Brain. Slice 72/155.
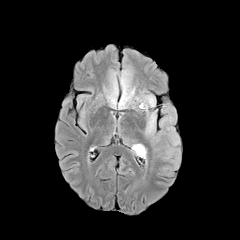
FLAIR MR.
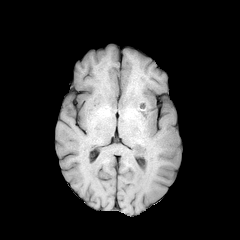
T1-weighted MR of the same slice.
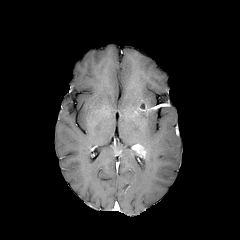
Post-contrast T1-weighted MRI.
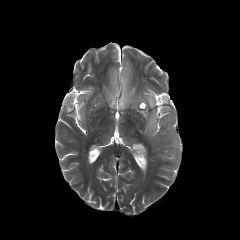
T2-weighted MR image.
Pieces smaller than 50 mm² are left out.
enhancing_tumor:
  - [132,144,146,157]
peritumoral_edema:
  - [145,111,155,135]
  - [122,89,134,108]
  - [136,94,155,108]